FLAIR MRI.
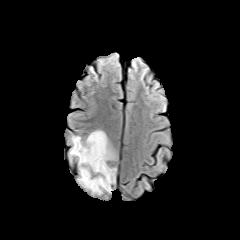
T1-weighted MRI.
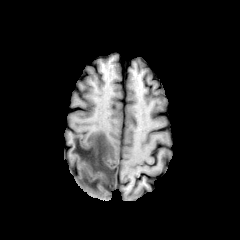
Post-contrast T1-weighted MR.
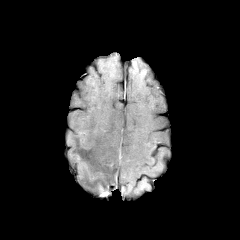
T2-weighted magnetic resonance.
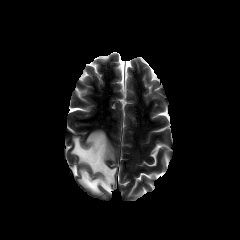
Brain
peritumoral edema = rect(70, 130, 116, 194)